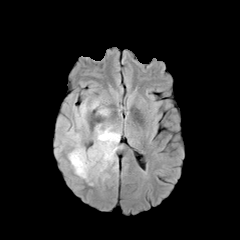
FLAIR MR.
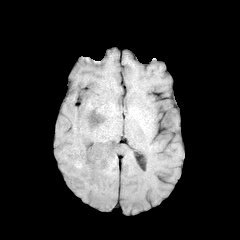
Same slice, T1-weighted MRI.
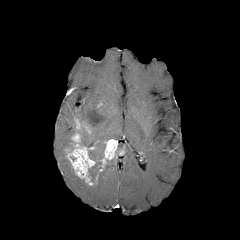
Post-contrast T1-weighted MR of the same slice.
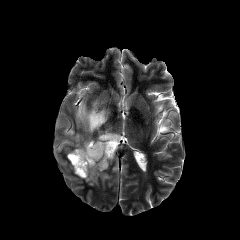
T2-weighted magnetic resonance.
Head
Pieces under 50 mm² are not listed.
necrotic tumor core: left=88, top=161, right=101, bottom=181 | enhancing tumor: left=65, top=133, right=118, bottom=185 | peritumoral edema: left=55, top=100, right=99, bottom=154; left=89, top=123, right=121, bottom=160; left=96, top=108, right=109, bottom=116; left=98, top=155, right=118, bottom=181